Image width 240 mm, 1.00 mm slice spacing. Brain. Image size 240x240.
FLAIR MRI.
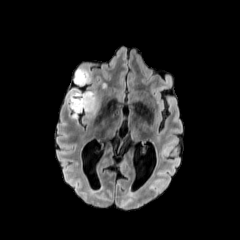
T1-weighted MR image.
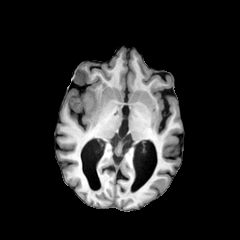
Post-contrast T1-weighted MR image.
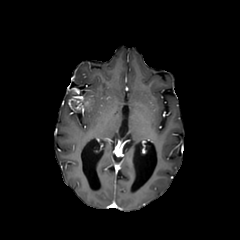
T2-weighted magnetic resonance.
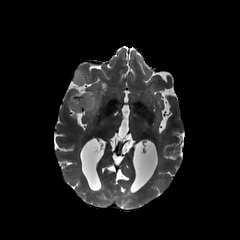
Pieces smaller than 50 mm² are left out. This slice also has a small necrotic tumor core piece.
{"peritumoral_edema": ["region(74, 69, 89, 85)", "region(71, 91, 95, 119)"], "enhancing_tumor": ["region(68, 87, 92, 111)"]}